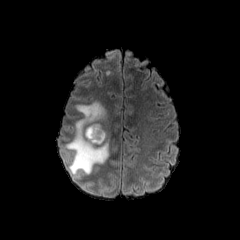
FLAIR MR.
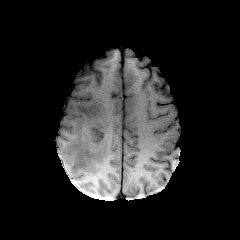
T1-weighted MR image of the same slice.
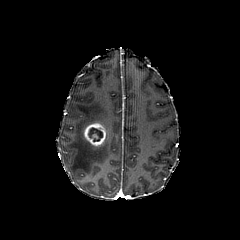
Post-contrast T1-weighted MRI of the same slice.
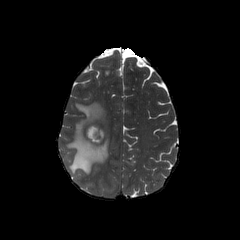
T2-weighted MR.
240x240 px. Brain.
enhancing tumor: region(84, 122, 106, 146) | necrotic tumor core: region(88, 127, 102, 141) | peritumoral edema: region(66, 100, 111, 175)